Slice 66/155 | Axial view | Head
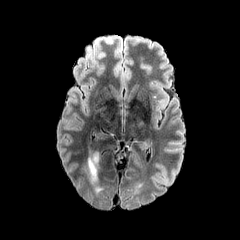
FLAIR MR.
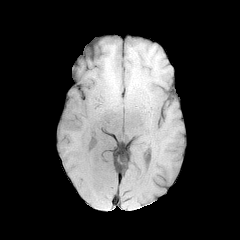
T1-weighted MR image of the same slice.
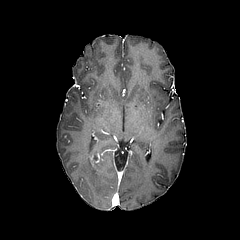
Post-contrast T1-weighted MR.
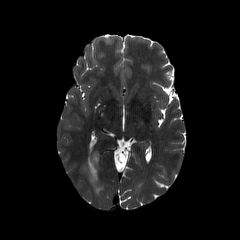
Same slice, T2-weighted MR image.
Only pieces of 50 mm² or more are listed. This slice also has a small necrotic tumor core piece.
enhancing tumor: bounding box (90, 152, 100, 167)
peritumoral edema: bounding box (82, 149, 103, 193)